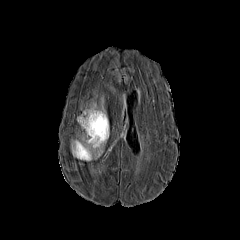
FLAIR MR.
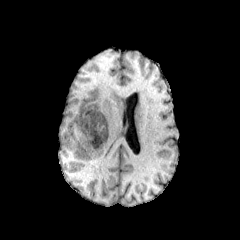
T1-weighted MR.
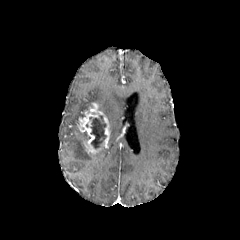
Post-contrast T1-weighted MR.
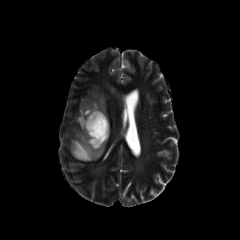
T2-weighted MRI.
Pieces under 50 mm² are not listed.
The 2 largest peritumoral edema regions appear at [99, 97, 106, 115], [71, 134, 104, 161]. The enhancing tumor is located at [79, 102, 109, 155]. The largest necrotic tumor core region is located at [89, 115, 106, 148].